240x240; Brain; Slice 87 of 155; Image width 240 mm
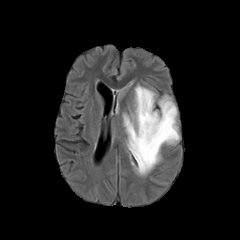
FLAIR MR.
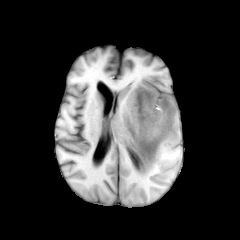
Same slice, T1-weighted MR image.
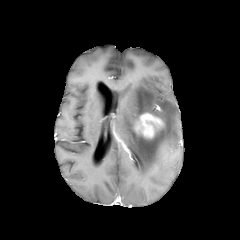
Post-contrast T1-weighted MR of the same slice.
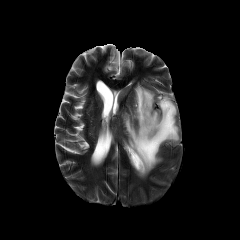
T2-weighted magnetic resonance of the same slice.
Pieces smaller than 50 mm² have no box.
peritumoral edema — (left=122, top=84, right=179, bottom=176)
enhancing tumor — (left=134, top=113, right=164, bottom=138)